Image width 240 mm, 1.00 mm slice spacing
FLAIR MR.
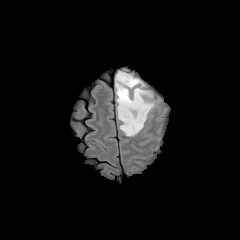
T1-weighted MR image.
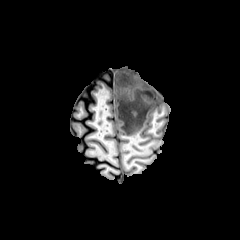
Post-contrast T1-weighted MR image.
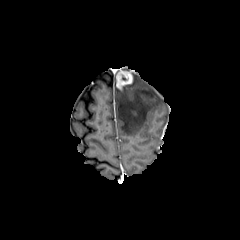
T2-weighted MRI.
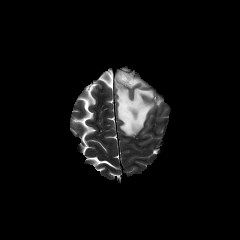
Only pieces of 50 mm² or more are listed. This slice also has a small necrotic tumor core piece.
peritumoral_edema:
  - <box>115,77,162,136</box>
enhancing_tumor:
  - <box>116,70,132,89</box>